Image size 240x240. Head. Slice 100/155.
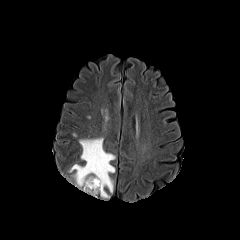
FLAIR MR.
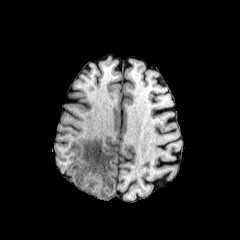
T1-weighted MR.
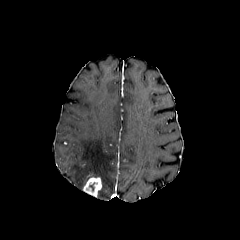
Post-contrast T1-weighted MRI of the same slice.
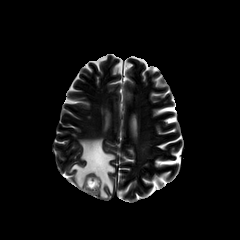
Same slice, T2-weighted MRI.
<segmentation>
  <peritumoral_edema>region(69, 137, 115, 198)</peritumoral_edema>
  <necrotic_tumor_core>region(89, 180, 97, 190)</necrotic_tumor_core>
  <enhancing_tumor>region(83, 175, 102, 196)</enhancing_tumor>
</segmentation>